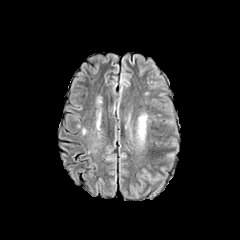
FLAIR magnetic resonance.
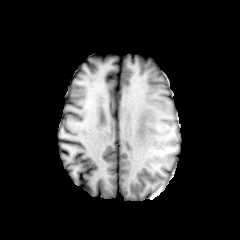
Same slice, T1-weighted MR image.
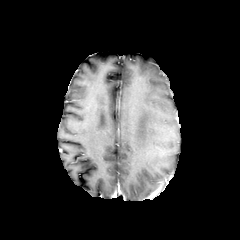
Post-contrast T1-weighted magnetic resonance.
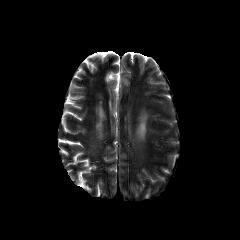
T2-weighted magnetic resonance.
Brain; Image size 240x240
The peritumoral edema is bounded by (138,116,146,138).